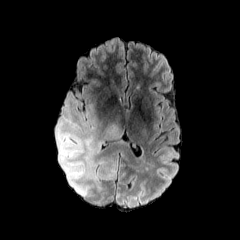
FLAIR MR image.
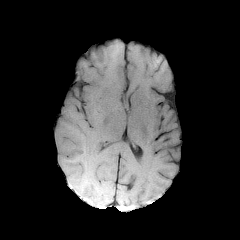
T1-weighted magnetic resonance.
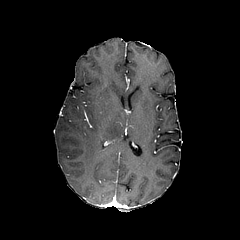
Post-contrast T1-weighted magnetic resonance.
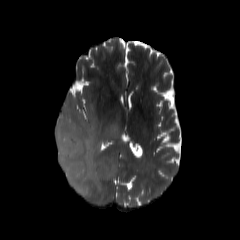
T2-weighted MR image.
Axial view | 240x240
peritumoral edema = bbox(55, 92, 115, 196); bbox(103, 124, 123, 140)